FLAIR MRI.
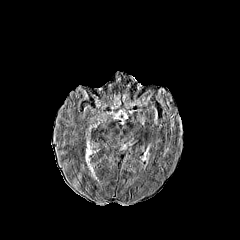
T1-weighted MR image.
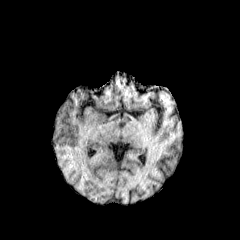
Post-contrast T1-weighted MR image.
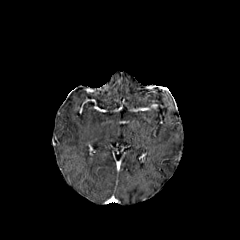
T2-weighted MRI.
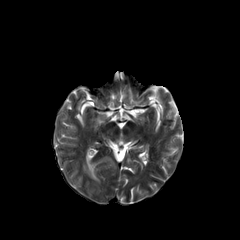
Axial slice
The peritumoral edema lies within x1=85, y1=150, x2=96, y2=179.